Image size 240x240
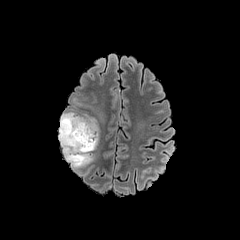
FLAIR MR.
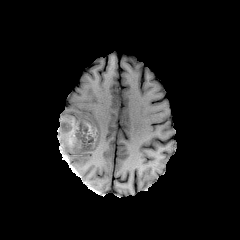
T1-weighted MR image of the same slice.
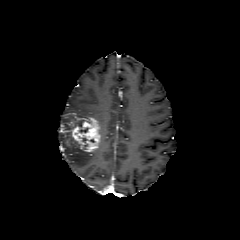
Post-contrast T1-weighted MR of the same slice.
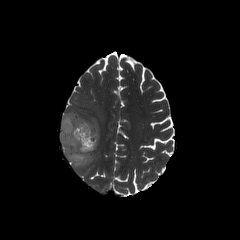
T2-weighted MRI.
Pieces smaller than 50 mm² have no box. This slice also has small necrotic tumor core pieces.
peritumoral_edema:
  - [59, 112, 94, 168]
enhancing_tumor:
  - [61, 117, 100, 151]